FLAIR MR.
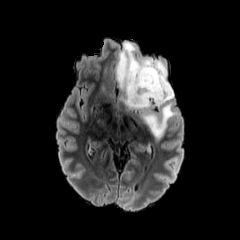
T1-weighted magnetic resonance.
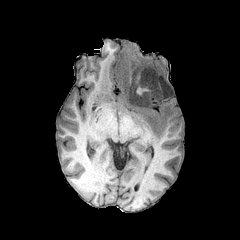
Post-contrast T1-weighted magnetic resonance.
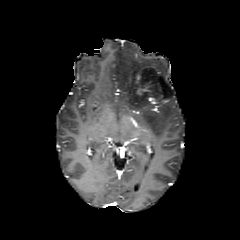
T2-weighted MR image.
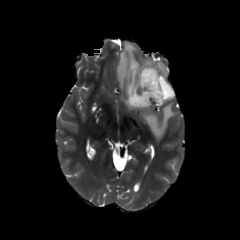
Brain | Axial slice
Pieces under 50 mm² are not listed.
The 2 largest enhancing tumor regions are bounded by 134:71:151:95, 148:97:161:106. The largest peritumoral edema region is located at 116:41:176:138.